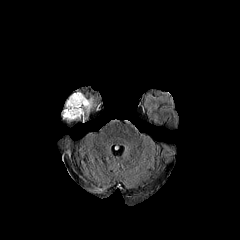
FLAIR magnetic resonance.
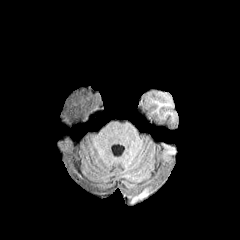
T1-weighted MRI of the same slice.
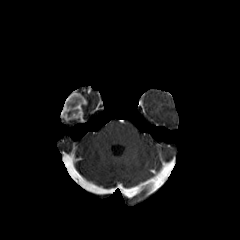
Post-contrast T1-weighted MR image of the same slice.
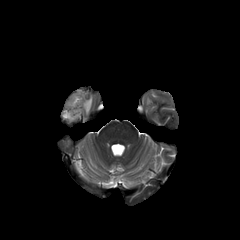
T2-weighted MRI.
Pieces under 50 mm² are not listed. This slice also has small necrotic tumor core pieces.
<segmentation>
  <enhancing_tumor>61:91:87:121</enhancing_tumor>
  <peritumoral_edema>85:97:92:114</peritumoral_edema>
</segmentation>